FLAIR MRI.
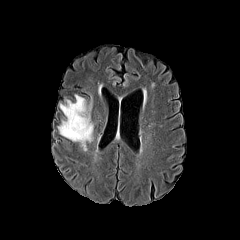
T1-weighted magnetic resonance.
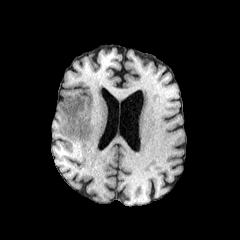
Post-contrast T1-weighted MR image.
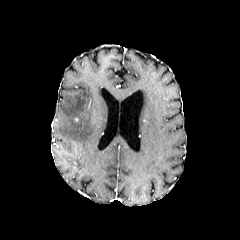
T2-weighted magnetic resonance.
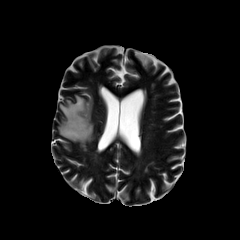
240x240 px | Head
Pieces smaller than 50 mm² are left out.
The largest peritumoral edema region is bounded by rect(58, 95, 93, 150).